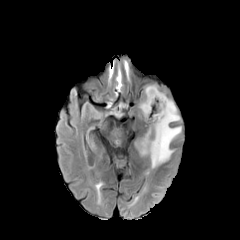
FLAIR MRI.
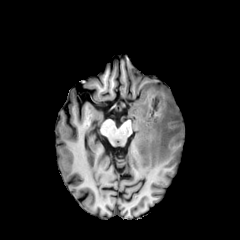
Same slice, T1-weighted magnetic resonance.
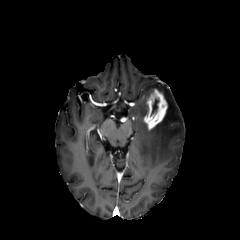
Post-contrast T1-weighted magnetic resonance.
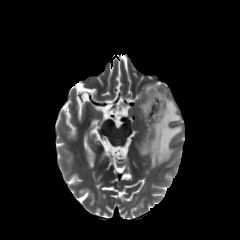
Same slice, T2-weighted MRI.
Axial view, Head, 240x240 px
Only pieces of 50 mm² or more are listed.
Annotated regions:
* enhancing tumor: bbox(144, 89, 167, 129)
* peritumoral edema: bbox(139, 99, 147, 116); bbox(145, 85, 157, 98); bbox(140, 92, 181, 168)
* necrotic tumor core: bbox(152, 99, 158, 113)